Axial plane. Slice 125 of 155.
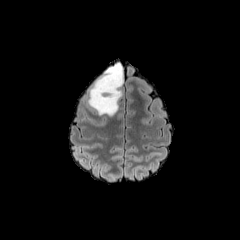
FLAIR MRI.
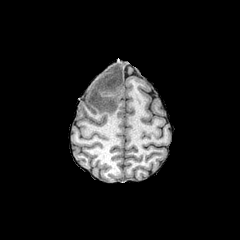
T1-weighted MRI.
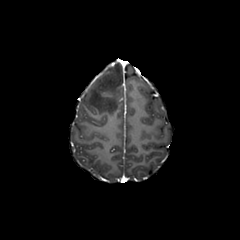
Same slice, post-contrast T1-weighted MR.
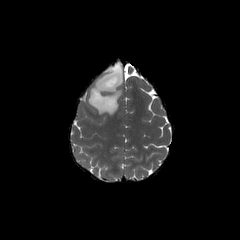
Same slice, T2-weighted MR.
The peritumoral edema is located at box(88, 62, 123, 116).